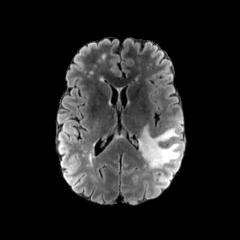
FLAIR MR image.
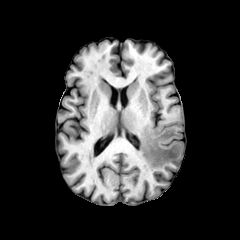
T1-weighted MR.
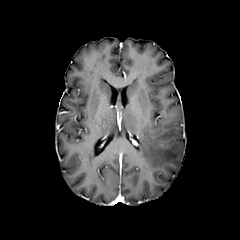
Post-contrast T1-weighted magnetic resonance.
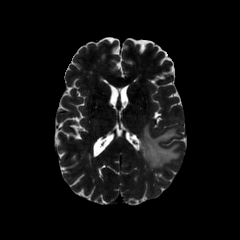
T2-weighted MRI of the same slice.
Brain. Axial plane. 240x240 px.
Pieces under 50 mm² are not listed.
peritumoral_edema:
  - [x1=139, y1=126, x2=181, y2=168]